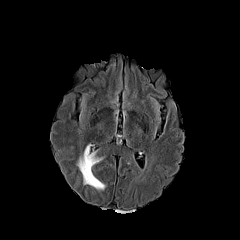
FLAIR MR image.
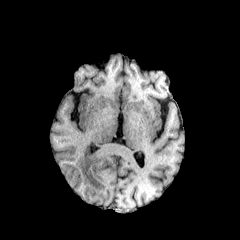
Same slice, T1-weighted MR image.
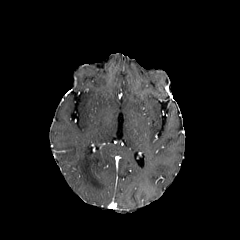
Post-contrast T1-weighted MR image.
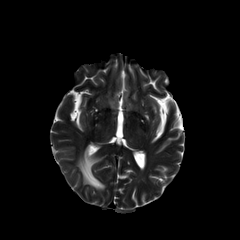
T2-weighted magnetic resonance.
Image size 240x240
The peritumoral edema appears at rect(77, 145, 105, 189).